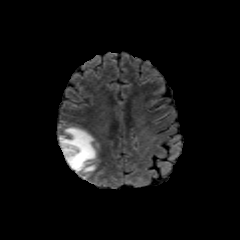
FLAIR MR.
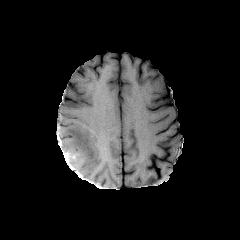
T1-weighted magnetic resonance of the same slice.
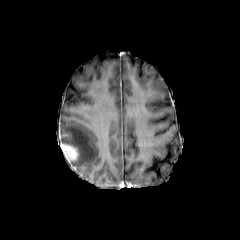
Post-contrast T1-weighted magnetic resonance.
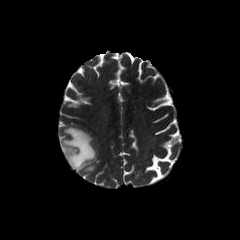
T2-weighted MRI.
Axial view; Brain
Findings:
- peritumoral edema: {"x1": 60, "y1": 126, "x2": 99, "y2": 178}
- enhancing tumor: {"x1": 61, "y1": 142, "x2": 78, "y2": 163}